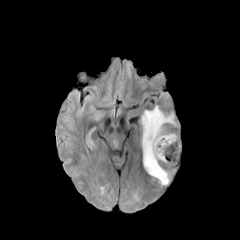
FLAIR MRI.
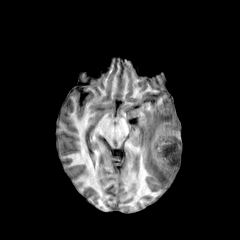
Same slice, T1-weighted MR image.
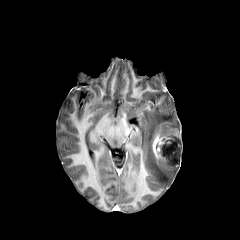
Post-contrast T1-weighted MR.
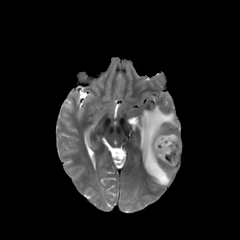
T2-weighted MR.
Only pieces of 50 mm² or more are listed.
peritumoral edema = box(141, 106, 178, 186)
enhancing tumor = box(152, 133, 179, 161)
necrotic tumor core = box(161, 138, 181, 166)